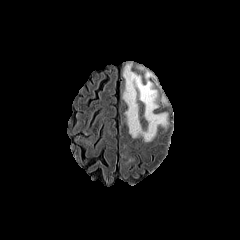
FLAIR magnetic resonance.
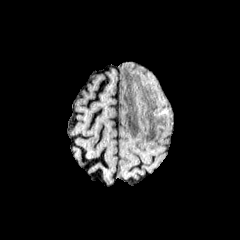
T1-weighted MR of the same slice.
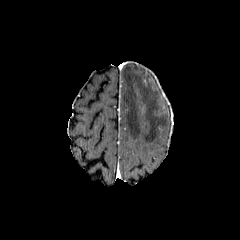
Same slice, post-contrast T1-weighted magnetic resonance.
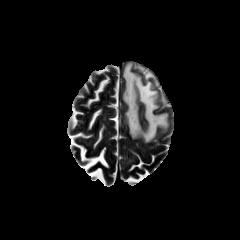
T2-weighted MR.
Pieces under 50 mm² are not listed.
The largest peritumoral edema region appears at [123,64,168,142].